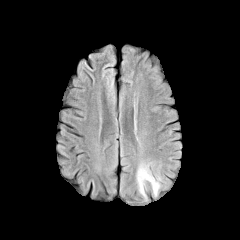
FLAIR MRI.
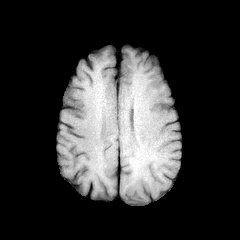
T1-weighted MR image.
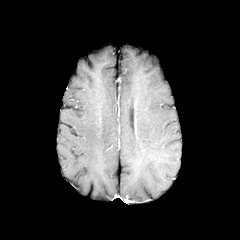
Post-contrast T1-weighted MR of the same slice.
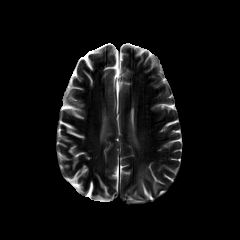
Same slice, T2-weighted MR image.
Brain; Axial plane
The peritumoral edema is located at (137,163,160,198).